Brain, Slice 89/155, Axial slice
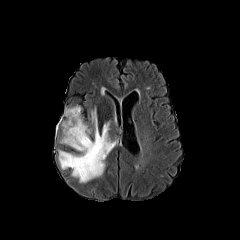
FLAIR MR.
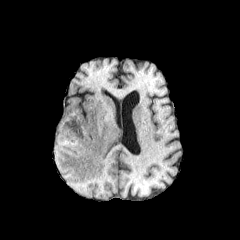
Same slice, T1-weighted MR.
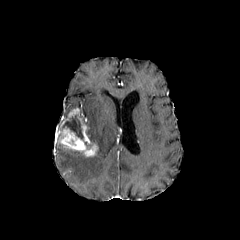
Post-contrast T1-weighted magnetic resonance of the same slice.
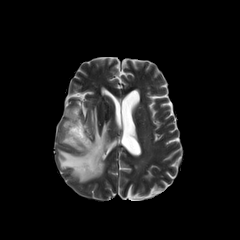
T2-weighted MR image.
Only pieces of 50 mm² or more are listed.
necrotic tumor core: 62:115:83:139
enhancing tumor: 55:107:98:156
peritumoral edema: 58:108:115:182